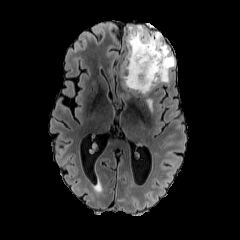
FLAIR MRI.
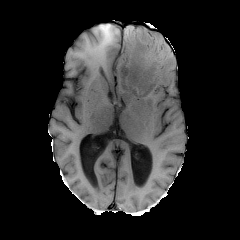
Same slice, T1-weighted MR image.
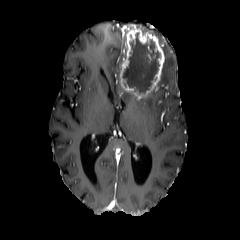
Same slice, post-contrast T1-weighted MR image.
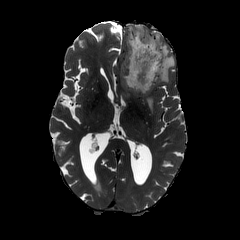
Same slice, T2-weighted MRI.
Brain
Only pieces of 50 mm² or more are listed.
<segmentation>
  <necrotic_tumor_core>(x1=122, y1=33, x2=159, y2=93)</necrotic_tumor_core>
  <enhancing_tumor>(x1=120, y1=26, x2=164, y2=97)</enhancing_tumor>
  <peritumoral_edema>(x1=143, y1=27, x2=175, y2=83), (x1=146, y1=97, x2=152, y2=113)</peritumoral_edema>
</segmentation>